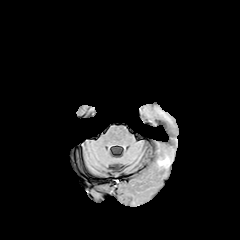
FLAIR MR.
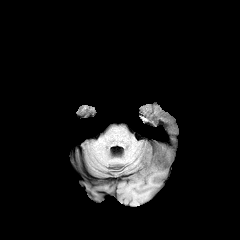
T1-weighted MRI of the same slice.
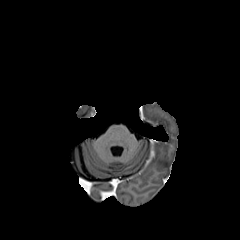
Post-contrast T1-weighted magnetic resonance.
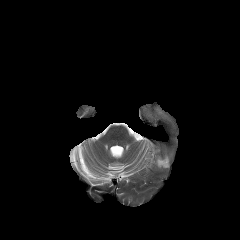
T2-weighted MRI.
Brain
Findings:
- peritumoral edema: 158:157:169:166